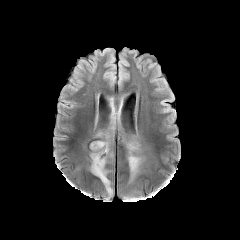
FLAIR magnetic resonance.
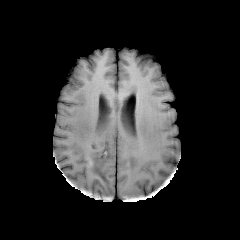
T1-weighted MRI.
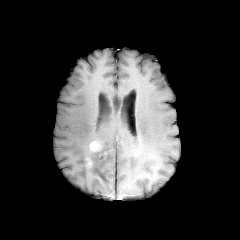
Post-contrast T1-weighted MR image of the same slice.
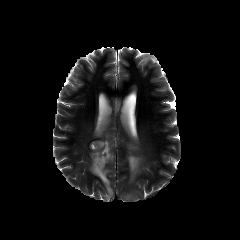
T2-weighted MR image.
Axial slice. Head.
peritumoral edema: 110,117,115,130; 126,142,142,181; 90,130,113,193 | enhancing tumor: 90,141,102,151